240x240 px
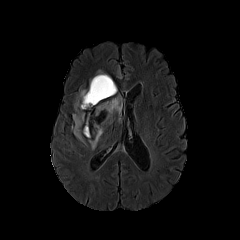
FLAIR MRI.
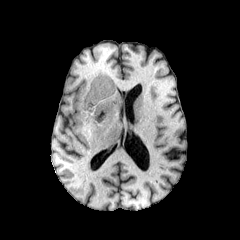
Same slice, T1-weighted MR.
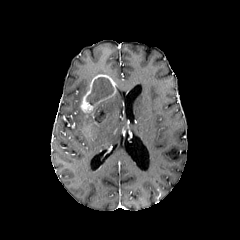
Post-contrast T1-weighted MR image.
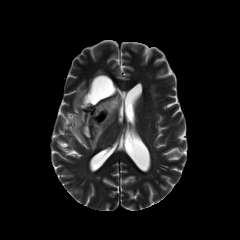
Same slice, T2-weighted magnetic resonance.
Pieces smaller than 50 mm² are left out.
- necrotic tumor core: x1=87 y1=77 x2=113 y2=105, x1=93 y1=111 x2=106 y2=122
- enhancing tumor: x1=80 y1=74 x2=116 y2=127
- peritumoral edema: x1=89 y1=125 x2=103 y2=149, x1=74 y1=90 x2=87 y2=109, x1=99 y1=96 x2=121 y2=122, x1=73 y1=110 x2=90 y2=141